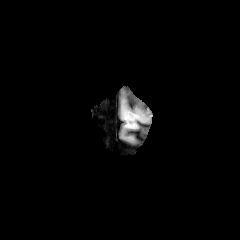
FLAIR MR.
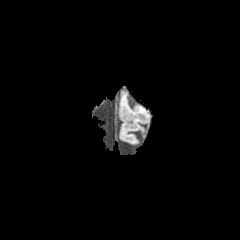
T1-weighted magnetic resonance of the same slice.
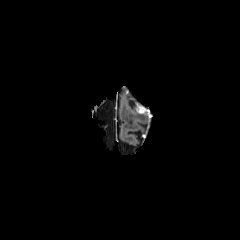
Same slice, post-contrast T1-weighted MR image.
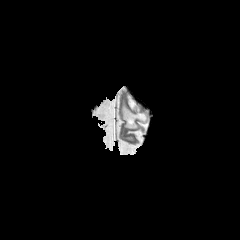
T2-weighted MR.
Head, 240x240
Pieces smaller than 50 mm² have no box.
peritumoral edema = box(121, 100, 148, 128)
enhancing tumor = box(135, 105, 149, 115)